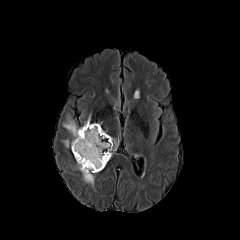
FLAIR MRI.
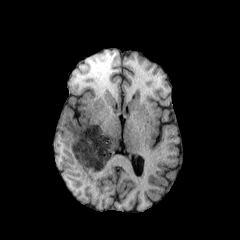
T1-weighted magnetic resonance.
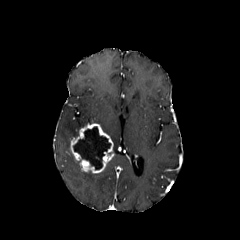
Same slice, post-contrast T1-weighted MR.
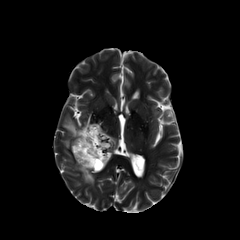
Same slice, T2-weighted magnetic resonance.
240x240, Brain, Axial plane
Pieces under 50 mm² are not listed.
<segmentation>
  <enhancing_tumor>[x1=70, y1=123, x2=114, y2=173]</enhancing_tumor>
  <peritumoral_edema>[x1=63, y1=139, x2=70, y2=148], [x1=63, y1=116, x2=80, y2=138], [x1=82, y1=171, x2=95, y2=187], [x1=111, y1=137, x2=118, y2=152]</peritumoral_edema>
  <necrotic_tumor_core>[x1=73, y1=126, x2=110, y2=169]</necrotic_tumor_core>
</segmentation>